240x240 px.
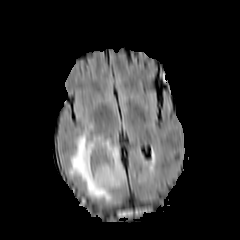
FLAIR MR image.
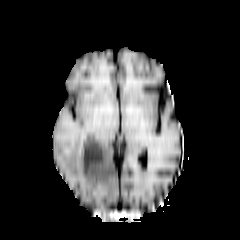
T1-weighted magnetic resonance.
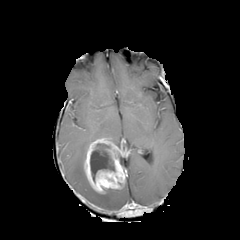
Post-contrast T1-weighted MRI.
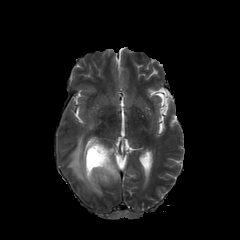
T2-weighted MR.
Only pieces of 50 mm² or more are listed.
The largest peritumoral edema region is located at (left=69, top=133, right=111, bottom=201). The largest necrotic tumor core region is located at (left=90, top=143, right=114, bottom=181). The largest enhancing tumor region is located at (left=84, top=138, right=125, bottom=193).